FLAIR MR image.
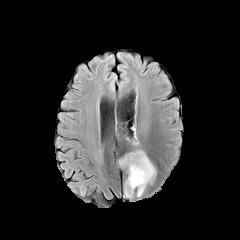
T1-weighted MRI.
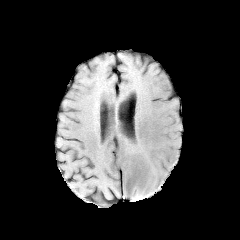
Post-contrast T1-weighted MRI.
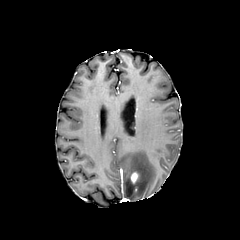
T2-weighted MRI.
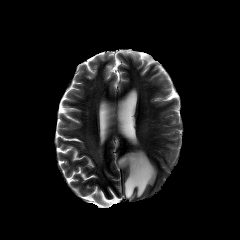
240x240 | Axial slice | Brain
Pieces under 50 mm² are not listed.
enhancing tumor = l=131, t=172, r=138, b=183
peritumoral edema = l=118, t=150, r=156, b=198